FLAIR magnetic resonance.
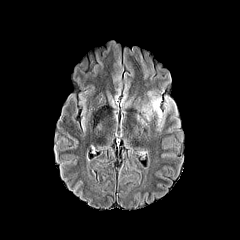
T1-weighted MR.
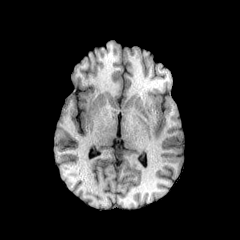
Post-contrast T1-weighted MR.
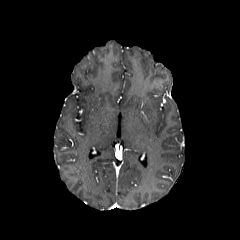
T2-weighted magnetic resonance.
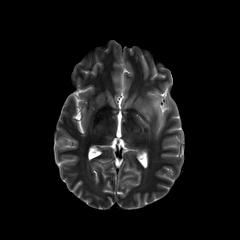
Axial slice
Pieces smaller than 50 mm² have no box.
The largest peritumoral edema region is bounded by [x1=142, y1=97, x2=163, y2=124].